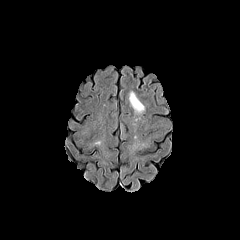
FLAIR MR.
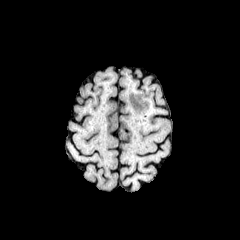
T1-weighted MRI.
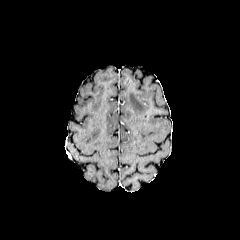
Post-contrast T1-weighted MRI.
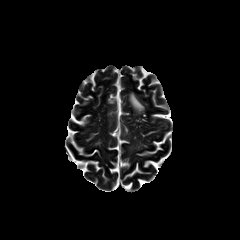
T2-weighted MR.
Axial plane
The peritumoral edema is bounded by 129, 91, 144, 113.